Slice 85 of 155; Image size 240x240
FLAIR MR.
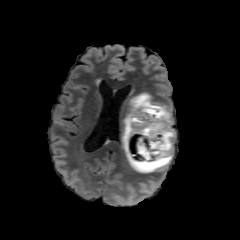
T1-weighted magnetic resonance.
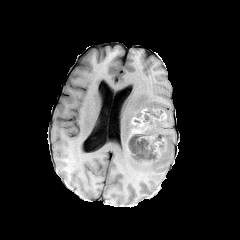
Post-contrast T1-weighted MRI.
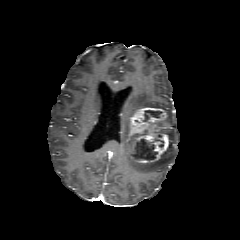
T2-weighted MR.
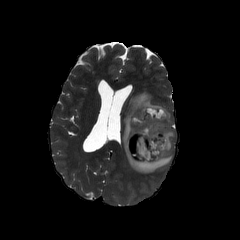
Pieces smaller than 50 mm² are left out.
The 3 largest necrotic tumor core regions appear at box(129, 130, 157, 160); box(143, 110, 162, 121); box(154, 134, 163, 147). The peritumoral edema is at box(122, 92, 175, 173). The enhancing tumor is at box(128, 106, 170, 167).